240x240 px. Brain.
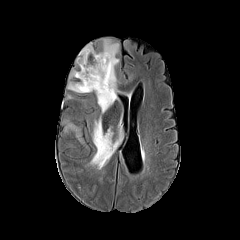
FLAIR MRI.
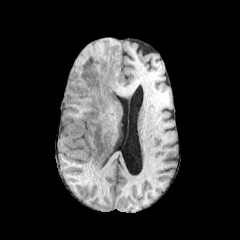
T1-weighted magnetic resonance of the same slice.
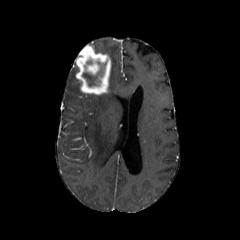
Post-contrast T1-weighted MR image.
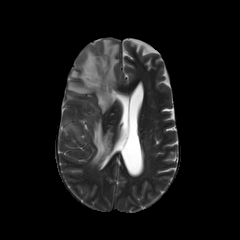
T2-weighted MRI.
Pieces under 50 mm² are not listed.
Annotated regions:
• necrotic tumor core: <bbox>83, 73, 96, 85</bbox>
• enhancing tumor: <bbox>75, 44, 111, 94</bbox>
• peritumoral edema: <bbox>67, 82, 84, 93</bbox>, <bbox>66, 124, 80, 140</bbox>, <bbox>90, 117, 113, 165</bbox>, <bbox>96, 39, 119, 113</bbox>